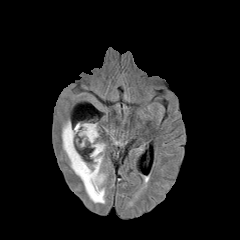
FLAIR MR.
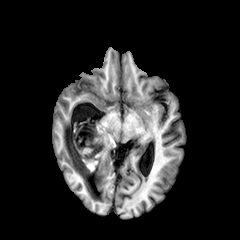
T1-weighted MR.
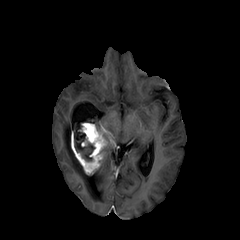
Post-contrast T1-weighted MR.
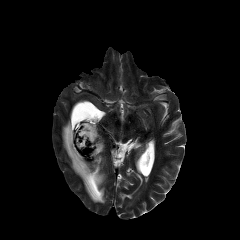
T2-weighted MR image.
Brain, Axial plane
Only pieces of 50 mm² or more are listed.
enhancing_tumor:
  - bbox(71, 123, 107, 175)
peritumoral_edema:
  - bbox(109, 130, 117, 143)
  - bbox(62, 120, 107, 203)
necrotic_tumor_core:
  - bbox(74, 132, 94, 160)